FLAIR MR image.
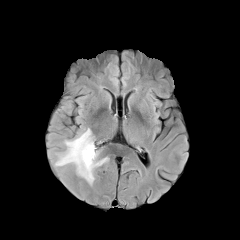
T1-weighted magnetic resonance.
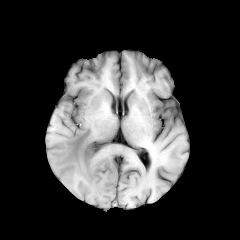
Post-contrast T1-weighted magnetic resonance.
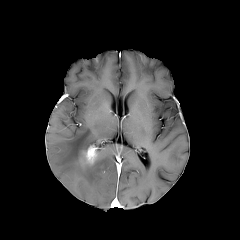
T2-weighted MR image.
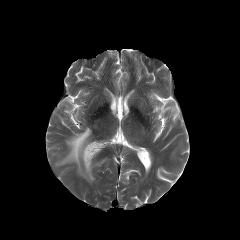
Head
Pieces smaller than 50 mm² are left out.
Annotated regions:
- peritumoral edema: [55,128,107,183]
- enhancing tumor: [78,145,96,171]